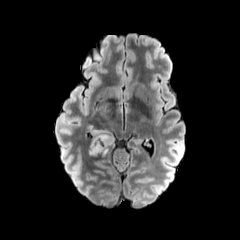
FLAIR MR.
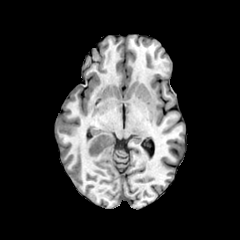
T1-weighted magnetic resonance.
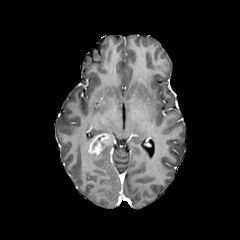
Post-contrast T1-weighted MR.
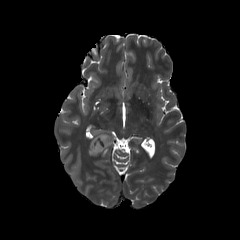
Same slice, T2-weighted magnetic resonance.
Brain. Image size 240x240.
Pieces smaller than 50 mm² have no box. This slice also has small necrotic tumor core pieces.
enhancing tumor: bounding box x1=88 y1=133 x2=113 y2=155
peritumoral edema: bounding box x1=88 y1=145 x2=112 y2=156, x1=90 y1=130 x2=115 y2=139